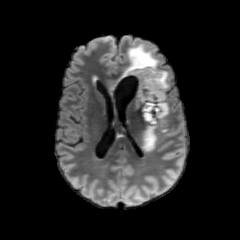
FLAIR MR image.
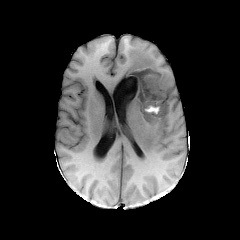
T1-weighted MR.
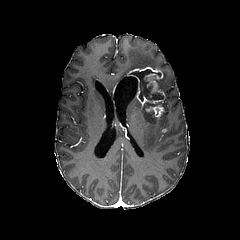
Same slice, post-contrast T1-weighted MR.
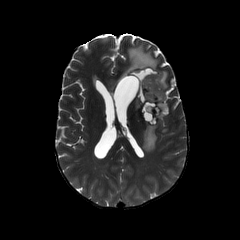
T2-weighted magnetic resonance of the same slice.
Axial plane.
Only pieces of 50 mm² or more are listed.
peritumoral edema — left=142, top=123, right=158, bottom=151; left=159, top=99, right=168, bottom=119; left=160, top=69, right=168, bottom=90; left=118, top=43, right=158, bottom=80
necrotic tumor core — left=143, top=112, right=156, bottom=124; left=129, top=69, right=163, bottom=101
enhancing tumor — left=125, top=66, right=165, bottom=117